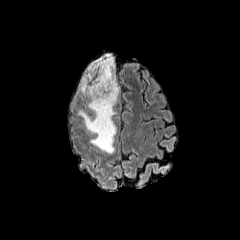
FLAIR MR image.
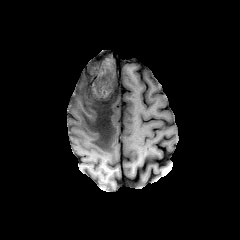
T1-weighted MR of the same slice.
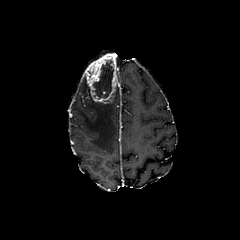
Post-contrast T1-weighted MR.
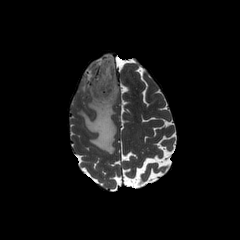
T2-weighted magnetic resonance of the same slice.
Axial plane; Brain
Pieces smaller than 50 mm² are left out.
enhancing tumor at {"x1": 83, "y1": 55, "x2": 118, "y2": 104}
peritumoral edema at {"x1": 84, "y1": 60, "x2": 98, "y2": 74}, {"x1": 78, "y1": 78, "x2": 119, "y2": 153}
necrotic tumor core at {"x1": 92, "y1": 60, "x2": 113, "y2": 98}